Head
FLAIR MRI.
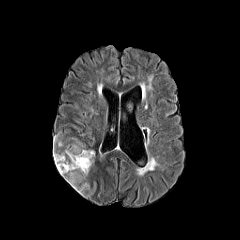
T1-weighted magnetic resonance.
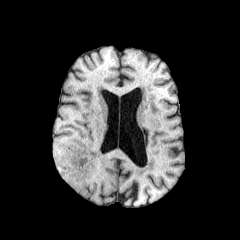
Post-contrast T1-weighted MR.
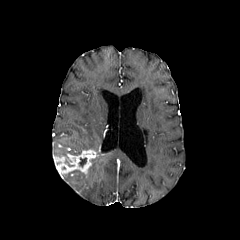
T2-weighted magnetic resonance.
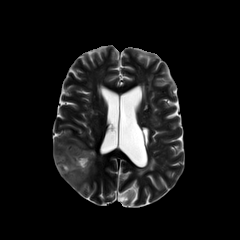
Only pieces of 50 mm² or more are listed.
peritumoral edema: [61,170,88,194], [53,139,86,158] | enhancing tumor: [54,149,96,175] | necrotic tumor core: [79,158,86,166]